FLAIR MR.
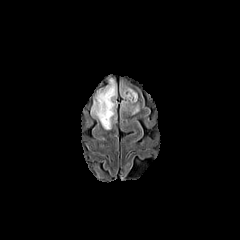
T1-weighted MRI.
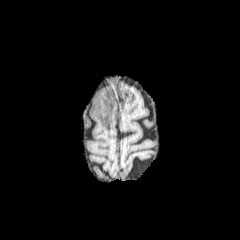
Post-contrast T1-weighted magnetic resonance.
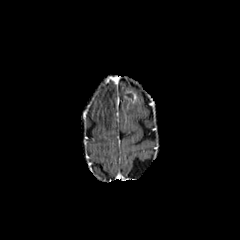
T2-weighted MR image.
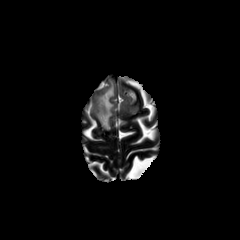
Axial view
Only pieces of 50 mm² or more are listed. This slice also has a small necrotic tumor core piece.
peritumoral edema: x1=91, y1=78, x2=116, y2=129
enhancing tumor: x1=124, y1=90, x2=137, y2=103